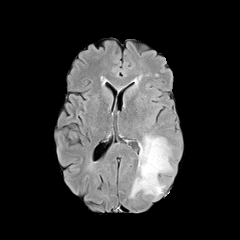
FLAIR magnetic resonance.
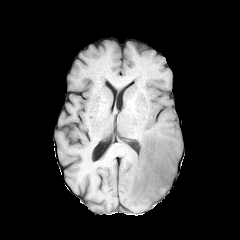
Same slice, T1-weighted MR.
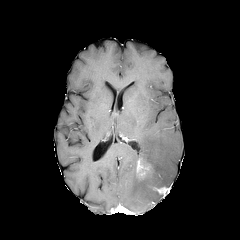
Post-contrast T1-weighted MR image.
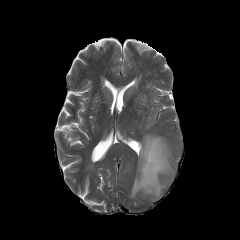
T2-weighted MR image of the same slice.
240x240 px. Head.
{"peritumoral_edema": ["[130,134,173,199]"], "enhancing_tumor": ["[154,187,167,193]", "[137,158,151,178]"]}